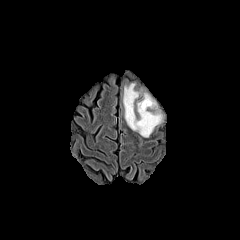
FLAIR MR.
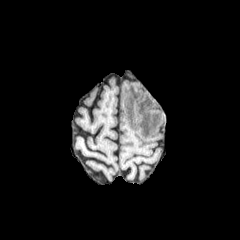
Same slice, T1-weighted MR.
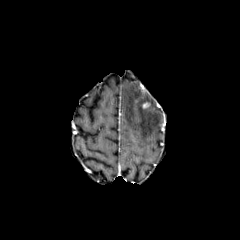
Post-contrast T1-weighted MR image of the same slice.
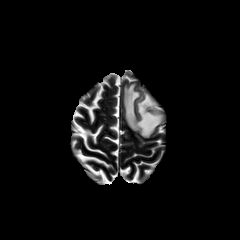
T2-weighted MR image.
Brain
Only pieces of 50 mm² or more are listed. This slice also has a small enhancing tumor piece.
• peritumoral edema: x1=123, y1=83, x2=162, y2=137